FLAIR MR.
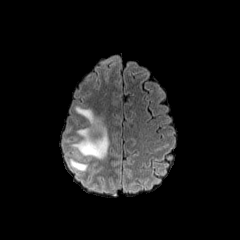
T1-weighted magnetic resonance.
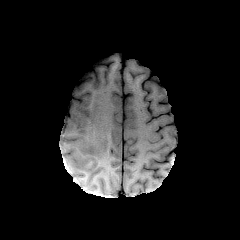
Post-contrast T1-weighted MR.
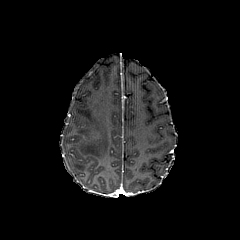
T2-weighted magnetic resonance.
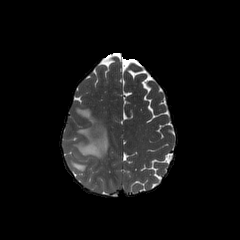
Brain
peritumoral edema: 72:106:110:159, 69:159:87:171